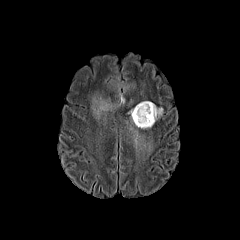
FLAIR MRI.
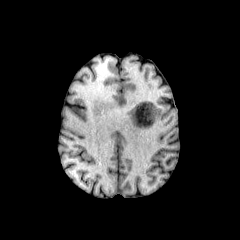
T1-weighted MRI of the same slice.
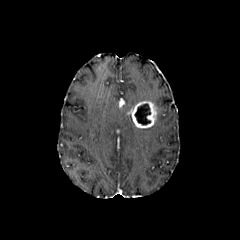
Post-contrast T1-weighted MRI.
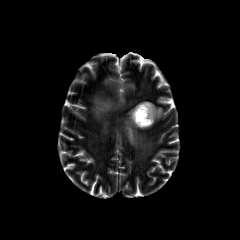
Same slice, T2-weighted MRI.
Head
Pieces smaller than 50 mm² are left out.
Findings:
• peritumoral edema: (95,99,112,114), (134,131,142,145)
• enhancing tumor: (130,101,158,128)
• necrotic tumor core: (135,104,150,124)